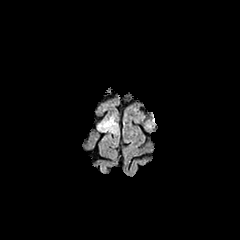
FLAIR MR.
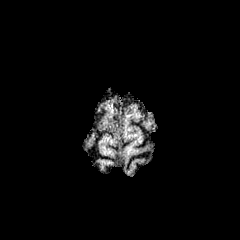
T1-weighted MRI of the same slice.
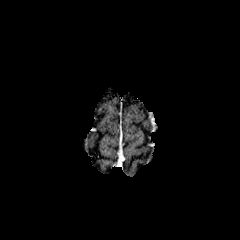
Post-contrast T1-weighted MRI.
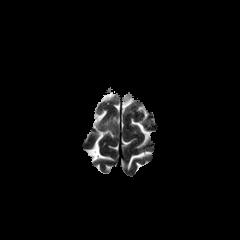
T2-weighted MR.
Brain.
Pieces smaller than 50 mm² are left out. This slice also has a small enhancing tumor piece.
peritumoral_edema:
  - (98,116,117,133)